Slice 98 of 155, Image width 240 mm, Axial slice
FLAIR MRI.
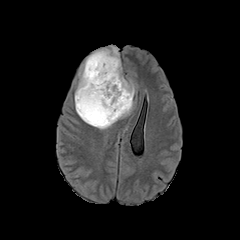
T1-weighted MRI.
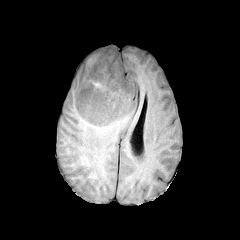
Post-contrast T1-weighted MR image.
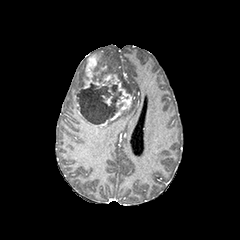
T2-weighted MR.
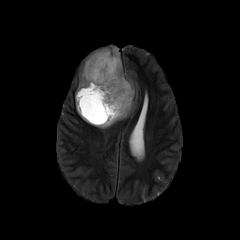
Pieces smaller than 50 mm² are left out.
enhancing tumor: (left=75, top=54, right=131, bottom=125)
necrotic tumor core: (left=77, top=81, right=123, bottom=124)
peritumoral edema: (left=79, top=46, right=135, bottom=129), (left=74, top=59, right=88, bottom=114)